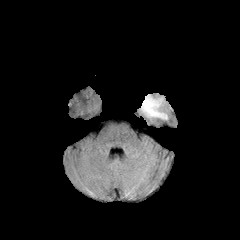
FLAIR MRI.
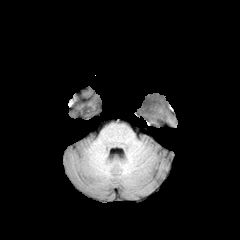
T1-weighted magnetic resonance of the same slice.
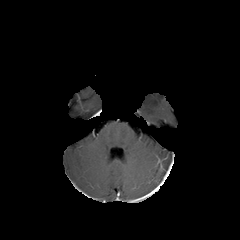
Same slice, post-contrast T1-weighted MR image.
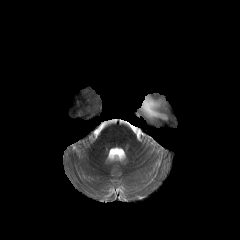
T2-weighted MRI of the same slice.
240x240 px; Head
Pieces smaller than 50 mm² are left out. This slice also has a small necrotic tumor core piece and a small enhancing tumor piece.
The peritumoral edema is at [x1=140, y1=94, x2=167, y2=119].